FLAIR magnetic resonance.
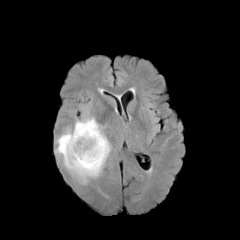
T1-weighted MR.
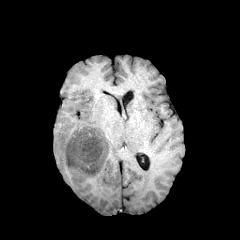
Post-contrast T1-weighted MR image.
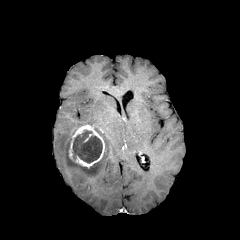
T2-weighted MR.
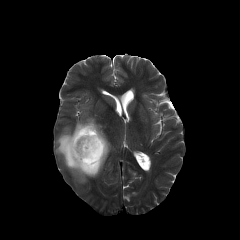
Segmented structures:
* necrotic tumor core: bbox=[73, 130, 102, 163]
* peritumoral edema: bbox=[55, 116, 111, 184]
* enhancing tumor: bbox=[69, 125, 105, 168]